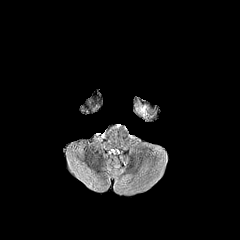
FLAIR MRI.
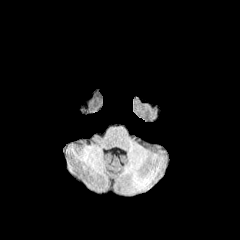
T1-weighted MR image of the same slice.
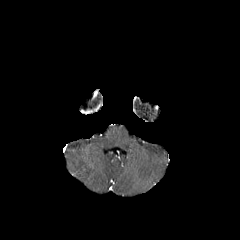
Post-contrast T1-weighted MRI.
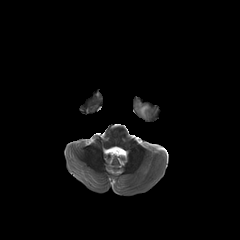
T2-weighted MR image.
Image size 240x240 | Axial slice | Head
The peritumoral edema is bounded by [x1=139, y1=106, x2=146, y2=116].